FLAIR MR.
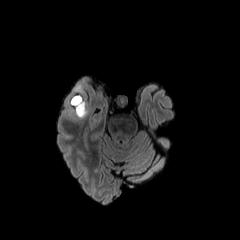
T1-weighted MRI.
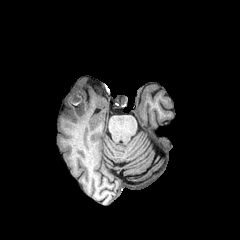
Post-contrast T1-weighted magnetic resonance.
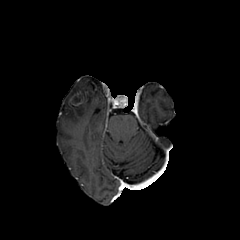
T2-weighted magnetic resonance.
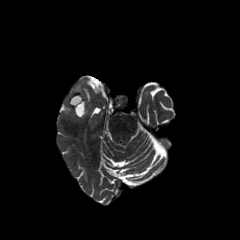
Axial view.
necrotic tumor core at {"x1": 72, "y1": 96, "x2": 80, "y2": 103}
enhancing tumor at {"x1": 69, "y1": 92, "x2": 83, "y2": 107}
peritumoral edema at {"x1": 73, "y1": 84, "x2": 82, "y2": 95}, {"x1": 75, "y1": 101, "x2": 87, "y2": 118}